Brain. Slice 123/155. Image width 240 mm. 240x240.
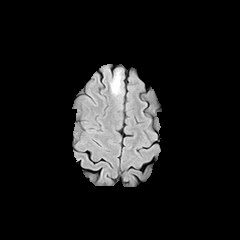
FLAIR MR.
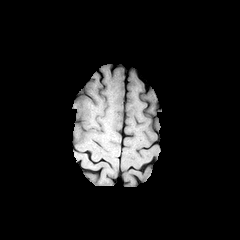
T1-weighted MR.
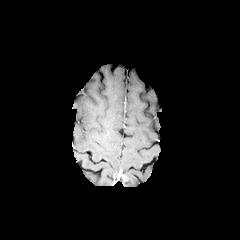
Post-contrast T1-weighted MR image.
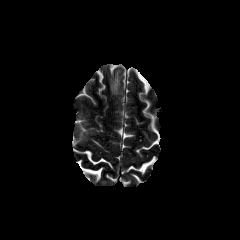
Same slice, T2-weighted MR.
peritumoral edema: 110, 70, 121, 94